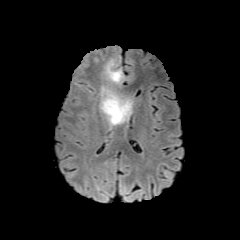
FLAIR MRI.
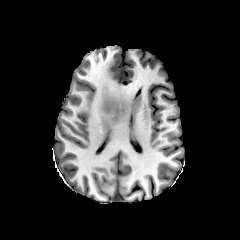
Same slice, T1-weighted MR image.
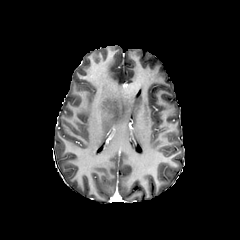
Post-contrast T1-weighted MR.
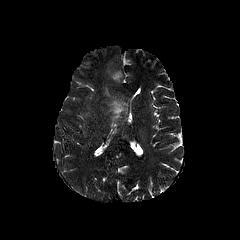
T2-weighted MR.
Head
peritumoral_edema:
  - 106, 61, 123, 83
  - 100, 87, 132, 126